FLAIR MR.
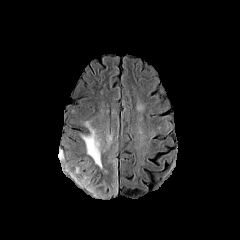
T1-weighted MR.
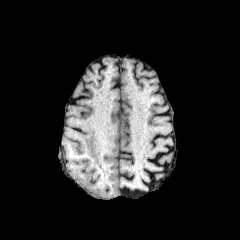
Post-contrast T1-weighted MR.
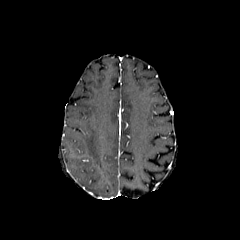
T2-weighted MR.
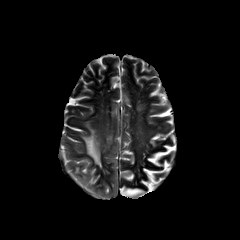
Head
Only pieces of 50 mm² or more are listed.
<segmentation>
  <peritumoral_edema>[65, 152, 117, 195], [82, 121, 101, 168]</peritumoral_edema>
</segmentation>